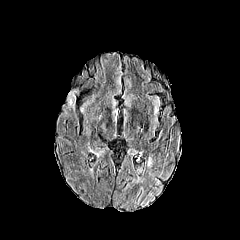
FLAIR MRI.
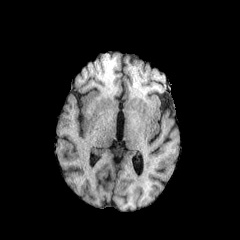
T1-weighted magnetic resonance.
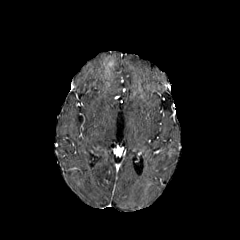
Same slice, post-contrast T1-weighted MRI.
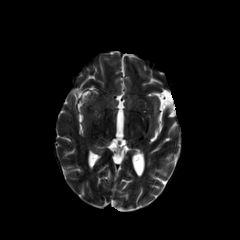
T2-weighted MR.
Axial plane | 240x240 px | Head
3 peritumoral edema regions appear at <bbox>87, 126, 107, 155</bbox>, <bbox>67, 89, 79, 123</bbox>, <bbox>81, 96, 91, 111</bbox>.